Slice 118 of 155 | Axial view
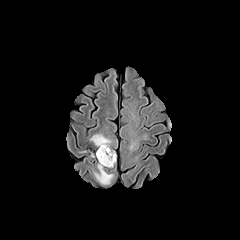
FLAIR MR.
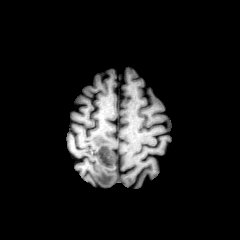
Same slice, T1-weighted MRI.
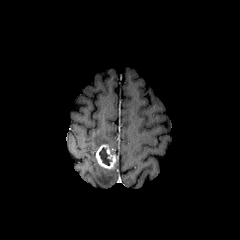
Post-contrast T1-weighted MR.
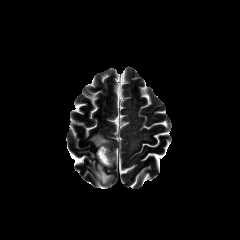
T2-weighted magnetic resonance of the same slice.
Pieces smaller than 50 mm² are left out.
{"enhancing_tumor": ["96:144:116:168"], "necrotic_tumor_core": ["99:147:111:165"], "peritumoral_edema": ["93:164:113:184", "90:133:111:147"]}